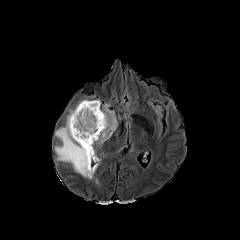
FLAIR magnetic resonance.
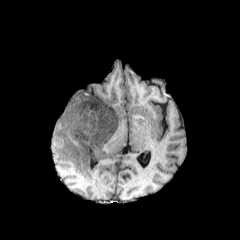
T1-weighted MR.
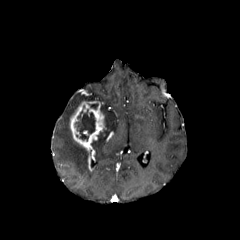
Same slice, post-contrast T1-weighted MR.
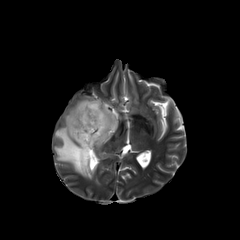
T2-weighted MR.
Brain, Axial view
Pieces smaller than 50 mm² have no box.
{
  "necrotic_tumor_core": [
    "75 110 95 140"
  ],
  "enhancing_tumor": [
    "69 101 106 171"
  ],
  "peritumoral_edema": [
    "93 103 117 147",
    "54 99 101 179"
  ]
}